Image width 240 mm, 1.00 mm slice spacing
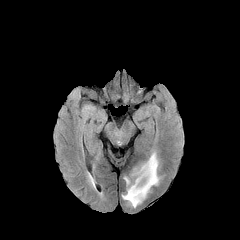
FLAIR MR image.
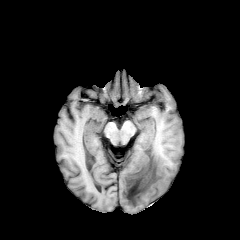
Same slice, T1-weighted MRI.
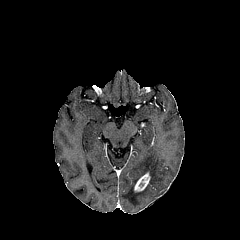
Post-contrast T1-weighted MR.
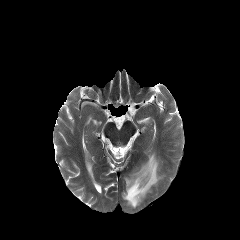
Same slice, T2-weighted MRI.
Annotated regions:
* peritumoral edema: [x1=122, y1=152, x2=160, y2=207]
* enhancing tumor: [x1=134, y1=172, x2=150, y2=192]